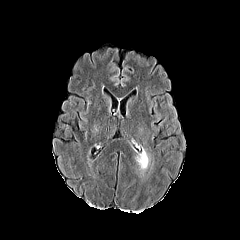
FLAIR MRI.
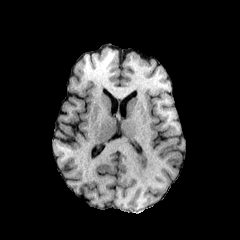
T1-weighted MR.
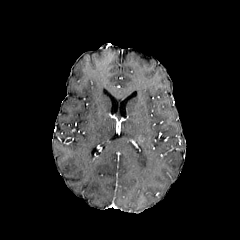
Same slice, post-contrast T1-weighted MR.
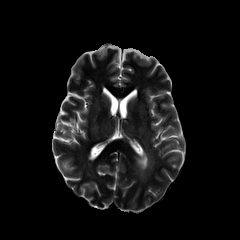
T2-weighted MR image of the same slice.
Axial view; Brain
The peritumoral edema appears at (136, 149, 149, 169).